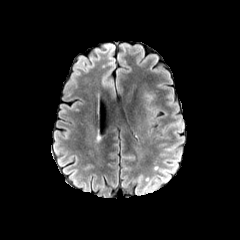
FLAIR MR image.
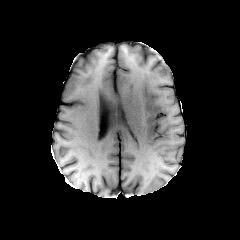
T1-weighted magnetic resonance.
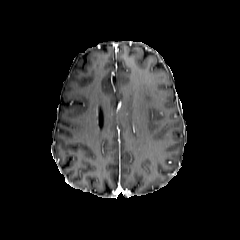
Post-contrast T1-weighted MR.
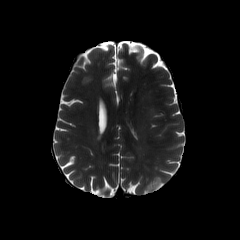
T2-weighted MR of the same slice.
Brain
* peritumoral edema: box(146, 94, 158, 126)